Slice index 109, 240x240
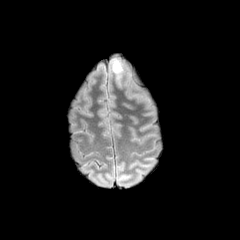
FLAIR MRI.
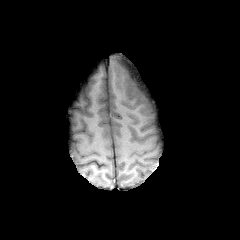
T1-weighted MR of the same slice.
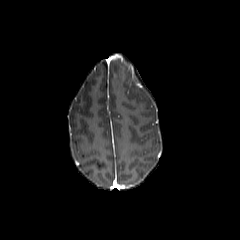
Post-contrast T1-weighted MR image.
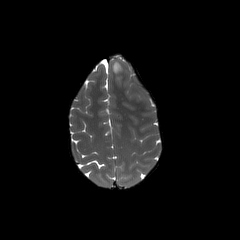
T2-weighted magnetic resonance.
The peritumoral edema appears at l=113, t=61, r=122, b=79.